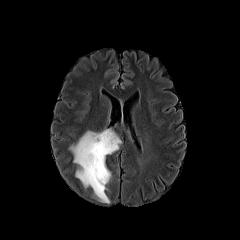
FLAIR magnetic resonance.
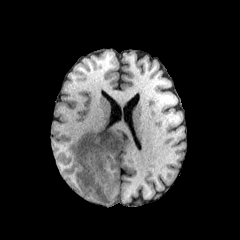
Same slice, T1-weighted MRI.
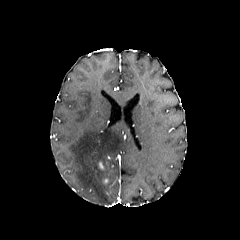
Post-contrast T1-weighted MRI of the same slice.
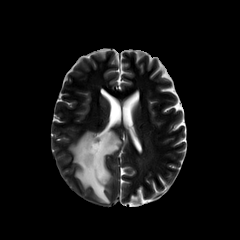
T2-weighted MR image.
Head, 240x240 px
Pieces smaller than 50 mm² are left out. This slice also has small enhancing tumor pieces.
Annotated regions:
- peritumoral edema: (69, 129, 121, 203)